FLAIR magnetic resonance.
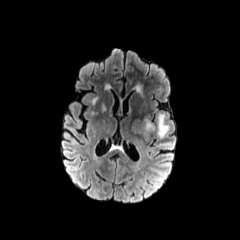
T1-weighted MR.
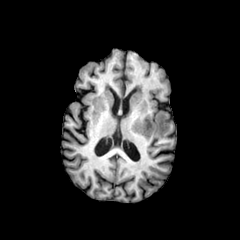
Post-contrast T1-weighted MRI.
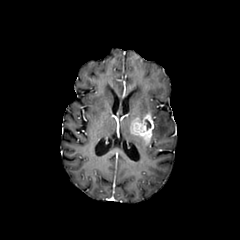
T2-weighted MR.
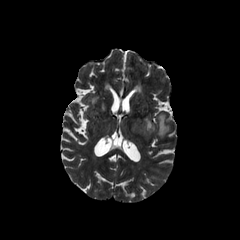
Head
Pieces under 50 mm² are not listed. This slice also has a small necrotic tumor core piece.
enhancing_tumor:
  - box(130, 114, 154, 141)
peritumoral_edema:
  - box(152, 113, 169, 137)